Slice index 84; Head
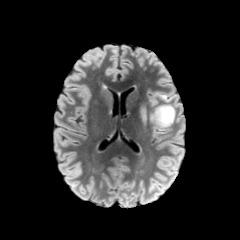
FLAIR magnetic resonance.
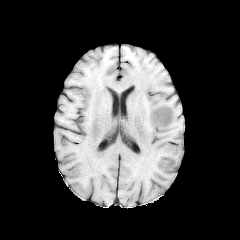
Same slice, T1-weighted MRI.
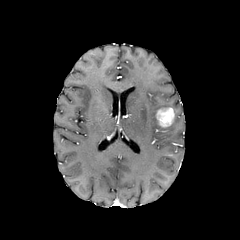
Same slice, post-contrast T1-weighted MR.
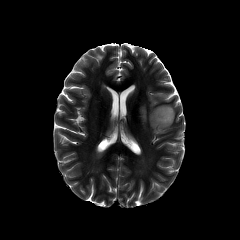
Same slice, T2-weighted magnetic resonance.
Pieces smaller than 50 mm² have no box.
The enhancing tumor is located at 155,107,174,127. The 3 largest peritumoral edema regions are located at 150,104,175,132; 148,92,171,105; 141,108,146,121.